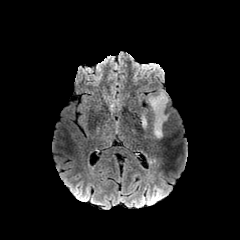
FLAIR MR.
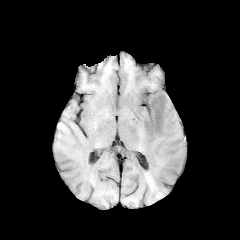
T1-weighted MRI.
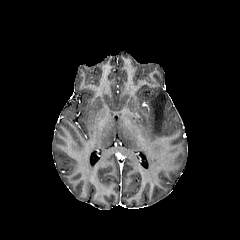
Post-contrast T1-weighted MR.
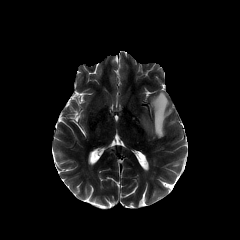
T2-weighted MR.
Image size 240x240.
peritumoral edema at <box>141,114,148,129</box>, <box>149,91,169,137</box>